Brain; Slice index 85
FLAIR MR.
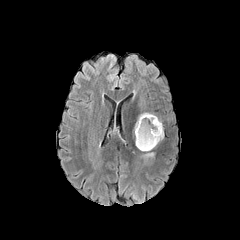
T1-weighted MR.
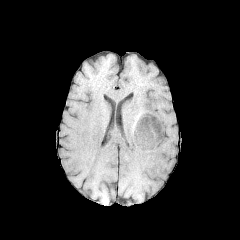
Post-contrast T1-weighted MRI.
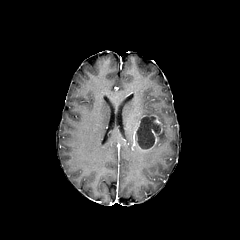
T2-weighted magnetic resonance.
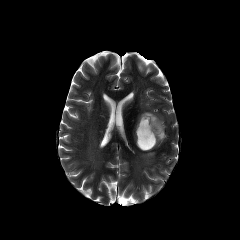
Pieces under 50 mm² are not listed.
<segmentation>
  <enhancing_tumor>(134, 116, 162, 151)</enhancing_tumor>
  <necrotic_tumor_core>(136, 117, 160, 149)</necrotic_tumor_core>
  <peritumoral_edema>(143, 152, 154, 157), (137, 112, 155, 122)</peritumoral_edema>
</segmentation>